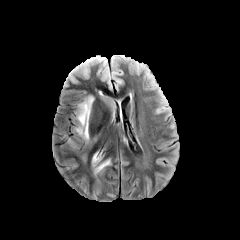
FLAIR MRI.
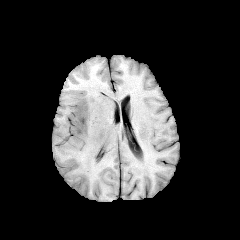
T1-weighted MR image of the same slice.
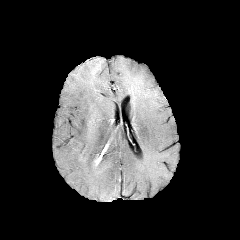
Same slice, post-contrast T1-weighted MR image.
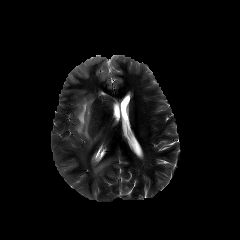
Same slice, T2-weighted MR image.
Head
peritumoral edema — x1=74 y1=95 x2=94 y2=142, x1=92 y1=152 x2=110 y2=174